240x240
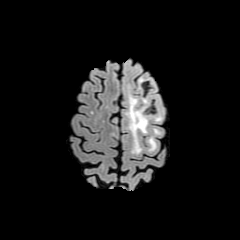
FLAIR magnetic resonance.
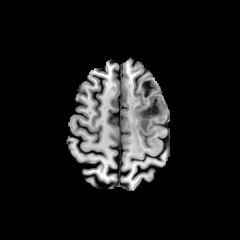
T1-weighted magnetic resonance.
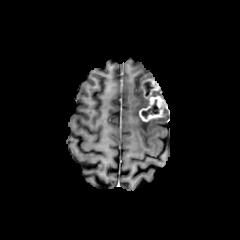
Post-contrast T1-weighted MR.
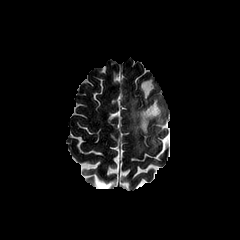
T2-weighted magnetic resonance of the same slice.
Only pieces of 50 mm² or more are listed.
enhancing tumor: [x1=139, y1=79, x2=166, y2=121] | peritumoral edema: [x1=148, y1=128, x2=160, y2=150], [x1=125, y1=92, x2=149, y2=152] | necrotic tumor core: [x1=142, y1=103, x2=158, y2=118], [x1=144, y1=81, x2=152, y2=95]